Brain. Image covers 240 mm x 240 mm. Image size 240x240.
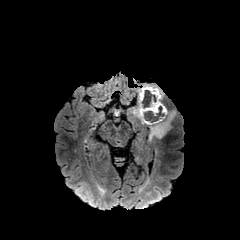
FLAIR MR.
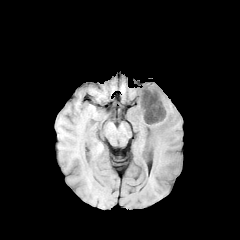
T1-weighted MR image.
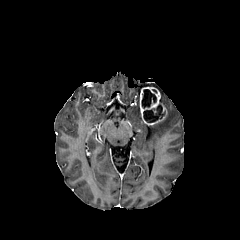
Post-contrast T1-weighted MR.
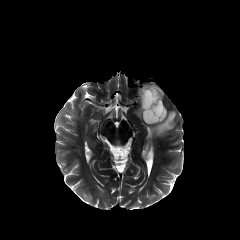
T2-weighted magnetic resonance.
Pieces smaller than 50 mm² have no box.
The enhancing tumor is at 139,87,167,125. The 2 largest necrotic tumor core regions are located at 143,105,165,122; 142,89,156,107. The 3 largest peritumoral edema regions appear at 130,105,144,124; 148,111,175,140; 142,84,163,101.